Head, Axial plane, Image width 240 mm
FLAIR MRI.
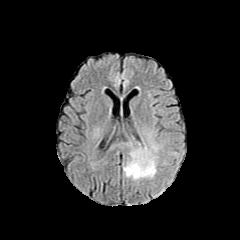
T1-weighted MR image.
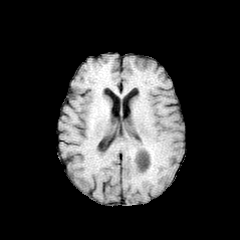
Post-contrast T1-weighted MRI.
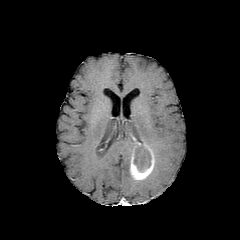
T2-weighted MR.
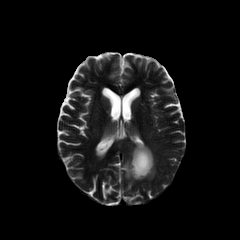
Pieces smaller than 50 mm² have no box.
peritumoral edema: <box>143,141,158,178</box>, <box>123,159,140,180</box>, <box>108,142,133,157</box>
enhancing tumor: <box>130,144,154,179</box>
necrotic tumor core: <box>134,146,150,164</box>